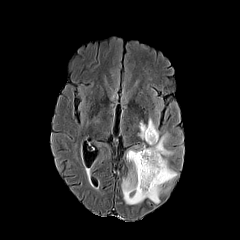
FLAIR MRI.
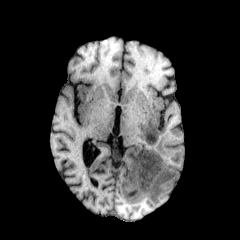
Same slice, T1-weighted MR.
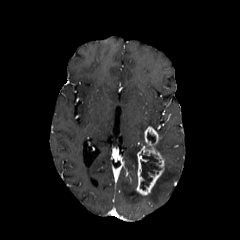
Post-contrast T1-weighted MR image of the same slice.
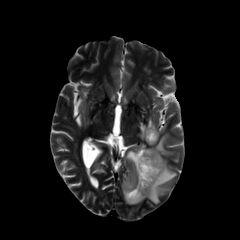
T2-weighted MR of the same slice.
Axial view, 240x240, Head
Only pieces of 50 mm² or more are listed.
enhancing tumor: bounding box rect(136, 126, 164, 195)
necrotic tumor core: bounding box rect(147, 132, 155, 143); rect(140, 151, 161, 190)
peritumoral edema: bounding box rect(138, 118, 159, 139); rect(121, 133, 177, 204)